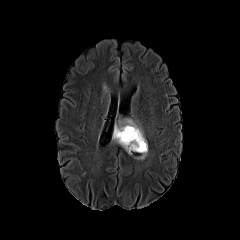
FLAIR MR.
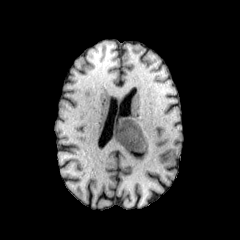
T1-weighted MR image.
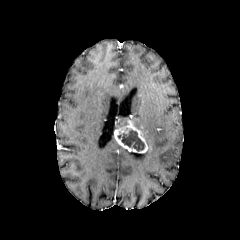
Same slice, post-contrast T1-weighted MR image.
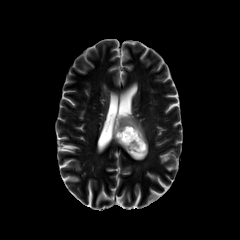
T2-weighted MR image.
Axial plane; Image size 240x240
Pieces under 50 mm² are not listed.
necrotic tumor core — bbox=[118, 129, 144, 151]
enhancing tumor — bbox=[114, 119, 147, 153]
peritumoral edema — bbox=[119, 118, 133, 126]; bbox=[134, 120, 143, 133]